Axial plane; Head
FLAIR magnetic resonance.
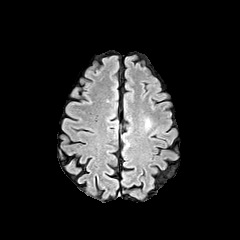
T1-weighted MR.
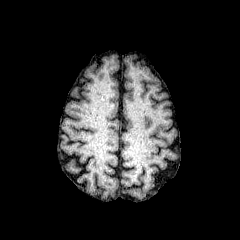
Post-contrast T1-weighted MR.
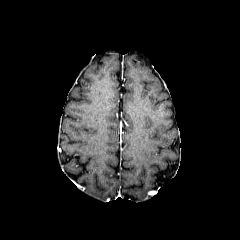
T2-weighted MR image.
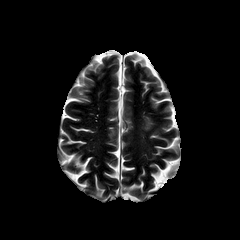
peritumoral edema at 144, 118, 151, 130